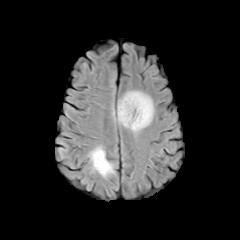
FLAIR MR.
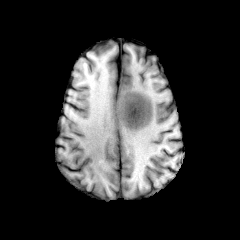
T1-weighted MR image.
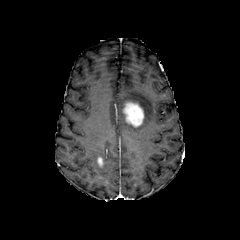
Post-contrast T1-weighted MR image.
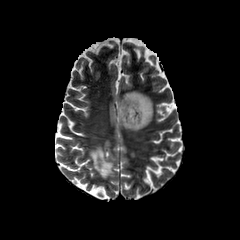
T2-weighted MR of the same slice.
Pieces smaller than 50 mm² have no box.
2 enhancing tumor regions are bounded by box=[122, 101, 144, 127]; box=[97, 157, 103, 167]. The 2 largest peritumoral edema regions are located at box=[89, 146, 114, 177]; box=[117, 91, 153, 131].